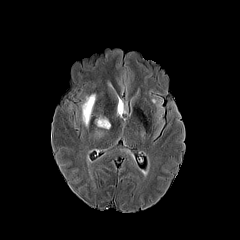
FLAIR MR.
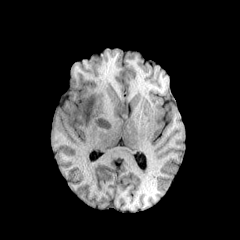
T1-weighted MR.
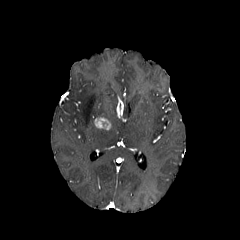
Post-contrast T1-weighted magnetic resonance.
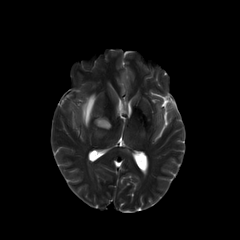
Same slice, T2-weighted MRI.
Brain
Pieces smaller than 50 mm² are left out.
peritumoral_edema:
  - 82:94:95:126
enhancing_tumor:
  - 116:98:123:116
  - 94:116:111:129